FLAIR MRI.
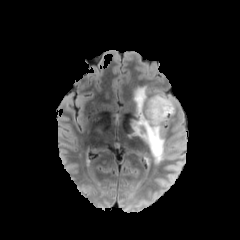
T1-weighted MR.
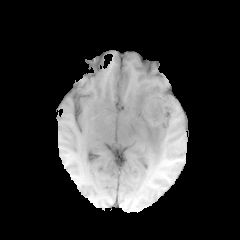
Post-contrast T1-weighted MR image.
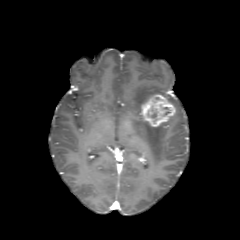
T2-weighted MR.
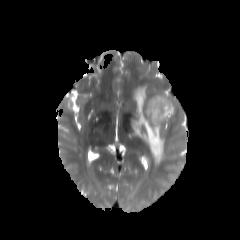
Axial view
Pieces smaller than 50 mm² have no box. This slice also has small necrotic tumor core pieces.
The 2 largest peritumoral edema regions are bounded by [133, 86, 165, 164], [157, 92, 175, 107]. The enhancing tumor is at [140, 94, 175, 126].